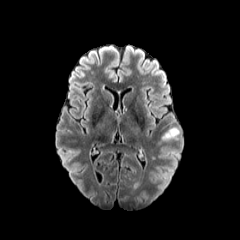
FLAIR MRI.
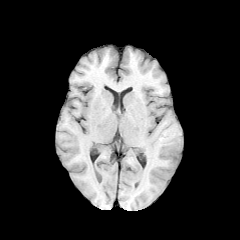
T1-weighted magnetic resonance.
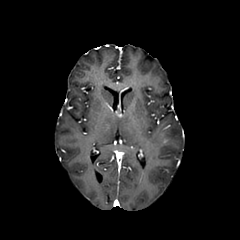
Same slice, post-contrast T1-weighted MR.
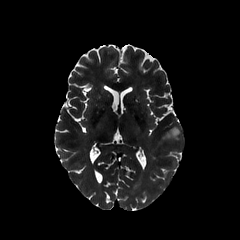
T2-weighted magnetic resonance of the same slice.
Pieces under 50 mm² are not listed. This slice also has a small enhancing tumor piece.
peritumoral edema: box=[161, 127, 179, 142]